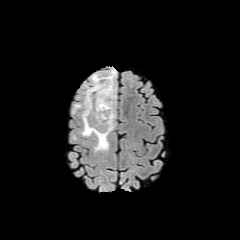
FLAIR MR.
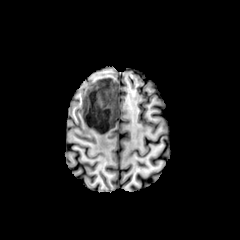
T1-weighted MR.
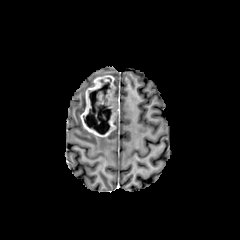
Post-contrast T1-weighted MR image of the same slice.
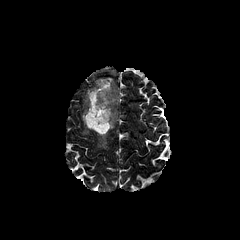
T2-weighted MR image of the same slice.
240x240 px
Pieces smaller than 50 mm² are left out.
peritumoral edema: bounding box <box>107,69,116,78</box>, <box>94,136,109,151</box>, <box>81,127,93,136</box>
enhancing tumor: bounding box <box>80,75,119,136</box>
necrotic tumor core: bounding box <box>83,82,111,134</box>